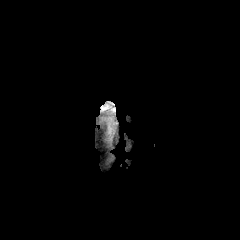
FLAIR MRI.
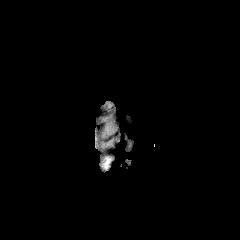
T1-weighted MR of the same slice.
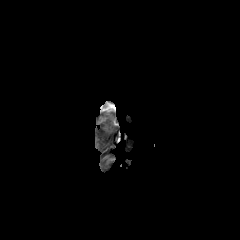
Post-contrast T1-weighted magnetic resonance.
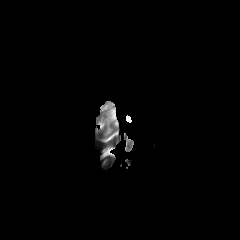
T2-weighted magnetic resonance.
Brain.
enhancing tumor: l=100, t=101, r=117, b=125 | necrotic tumor core: l=105, t=112, r=112, b=122 | peritumoral edema: l=106, t=122, r=114, b=138